Slice index 67, Head, Axial view
FLAIR MR.
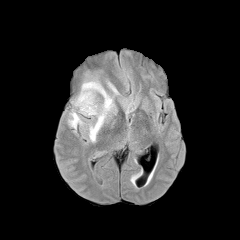
T1-weighted MR.
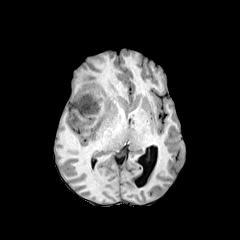
Post-contrast T1-weighted MR image.
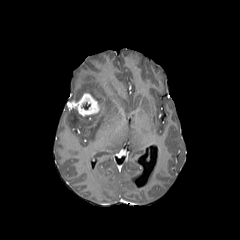
T2-weighted MR.
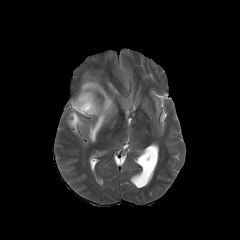
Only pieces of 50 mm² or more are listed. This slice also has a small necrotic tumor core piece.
<segmentation>
  <enhancing_tumor>box(68, 93, 100, 115)</enhancing_tumor>
  <peritumoral_edema>box(108, 82, 118, 94); box(74, 81, 113, 141); box(69, 109, 83, 128)</peritumoral_edema>
</segmentation>